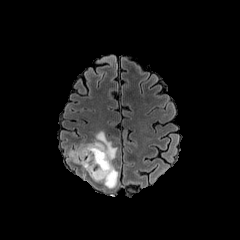
FLAIR magnetic resonance.
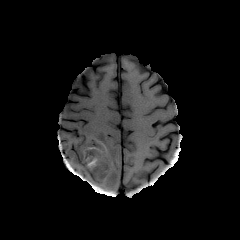
T1-weighted MR image.
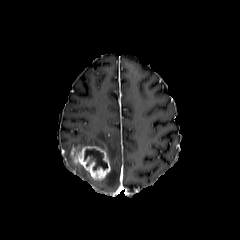
Same slice, post-contrast T1-weighted MR image.
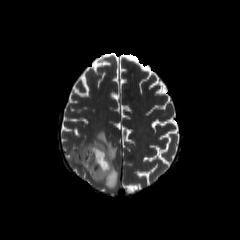
T2-weighted MRI.
240x240
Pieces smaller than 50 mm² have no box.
Findings:
- peritumoral edema: [x1=74, y1=131, x2=118, y2=187]
- necrotic tumor core: [x1=84, y1=148, x2=107, y2=169]
- enhancing tumor: [x1=70, y1=146, x2=110, y2=180]